FLAIR MR.
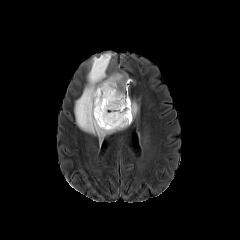
T1-weighted MR.
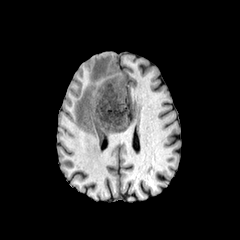
Post-contrast T1-weighted magnetic resonance.
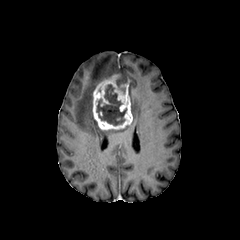
T2-weighted MRI.
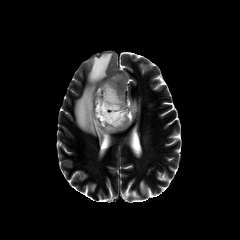
Head, Axial view
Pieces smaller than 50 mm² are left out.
The largest necrotic tumor core region is at {"x1": 96, "y1": 84, "x2": 126, "y2": 125}. 3 peritumoral edema regions appear at {"x1": 116, "y1": 74, "x2": 132, "y2": 87}, {"x1": 131, "y1": 101, "x2": 138, "y2": 116}, {"x1": 74, "y1": 53, "x2": 118, "y2": 142}. The largest enhancing tumor region is located at {"x1": 92, "y1": 74, "x2": 132, "y2": 130}.